Head.
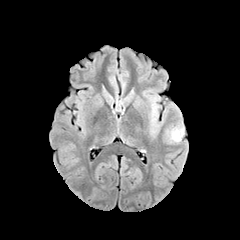
FLAIR MRI.
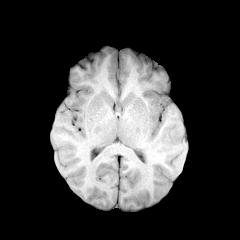
Same slice, T1-weighted MRI.
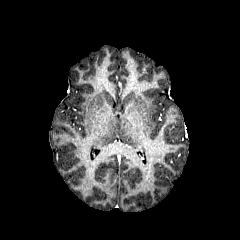
Post-contrast T1-weighted MR.
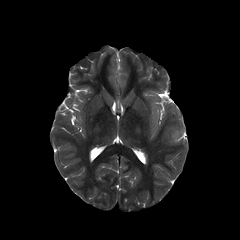
T2-weighted MR of the same slice.
Segmented structures:
• peritumoral edema: (x1=166, y1=126, x2=184, y2=143)